Image size 240x240. Brain. Image covers 240 mm x 240 mm. Slice 90/155.
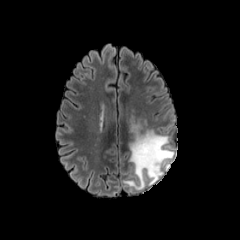
FLAIR MRI.
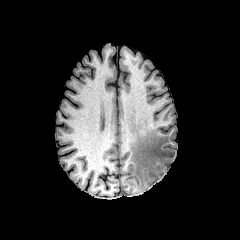
Same slice, T1-weighted magnetic resonance.
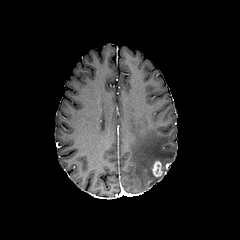
Post-contrast T1-weighted MR image.
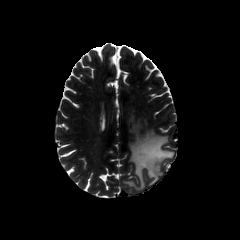
T2-weighted MR image.
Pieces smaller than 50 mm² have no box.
The largest peritumoral edema region is at <box>124,119,174,189</box>. The enhancing tumor is bounded by <box>151,160,162,177</box>.